Brain; Slice 120/155
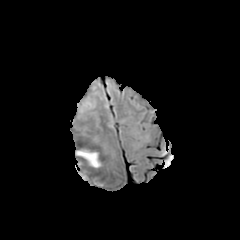
FLAIR MR.
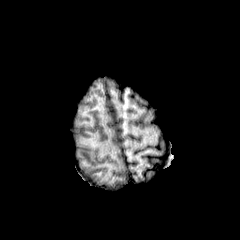
Same slice, T1-weighted MR.
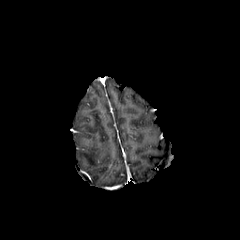
Post-contrast T1-weighted MRI.
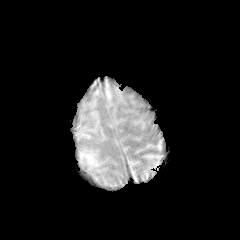
T2-weighted MR.
peritumoral edema — <bbox>77, 148, 99, 167</bbox>